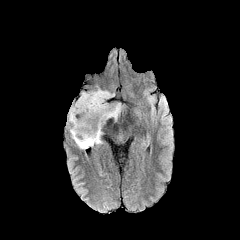
FLAIR magnetic resonance.
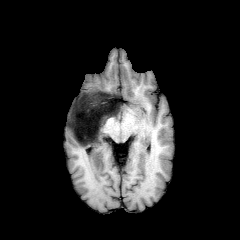
T1-weighted MR.
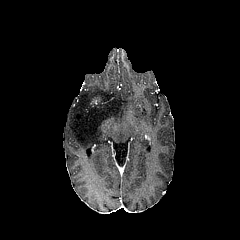
Post-contrast T1-weighted MRI.
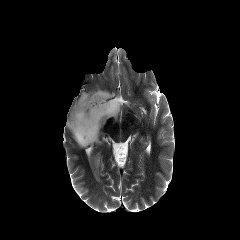
Same slice, T2-weighted MR image.
Axial plane. Image size 240x240.
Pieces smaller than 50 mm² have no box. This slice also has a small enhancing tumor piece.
peritumoral edema: <bbox>66, 86, 122, 149</bbox>